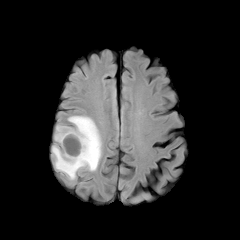
FLAIR MR image.
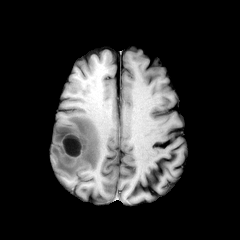
T1-weighted MR of the same slice.
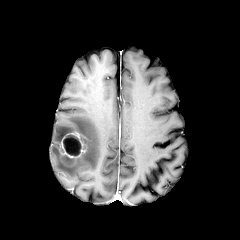
Same slice, post-contrast T1-weighted magnetic resonance.
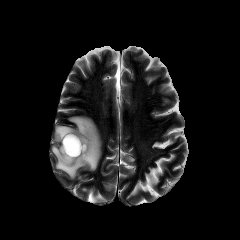
T2-weighted magnetic resonance.
Image size 240x240 | Head
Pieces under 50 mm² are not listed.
The peritumoral edema appears at box(52, 116, 101, 179). The 2 largest necrotic tumor core regions are located at box(62, 155, 74, 164); box(63, 135, 81, 156). The enhancing tumor lies within box(59, 132, 87, 166).